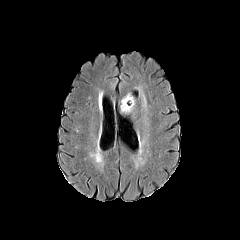
FLAIR MR image.
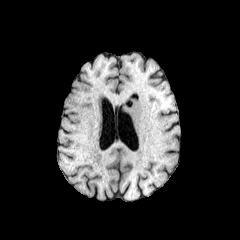
T1-weighted MRI of the same slice.
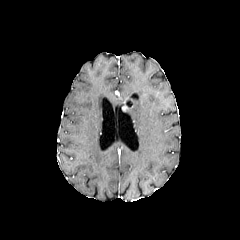
Post-contrast T1-weighted MR of the same slice.
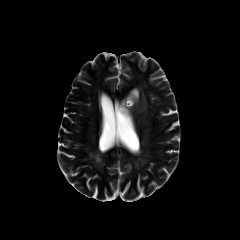
Same slice, T2-weighted MR image.
Axial plane | Brain
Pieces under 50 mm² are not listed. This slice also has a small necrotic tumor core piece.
The largest peritumoral edema region is at (120,93,135,114). The enhancing tumor is at (121,97,133,110).